Axial plane
FLAIR MRI.
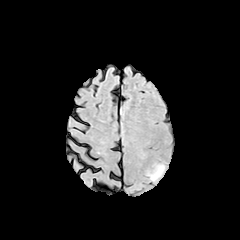
T1-weighted magnetic resonance.
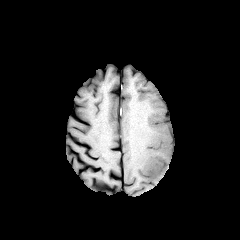
Post-contrast T1-weighted MRI.
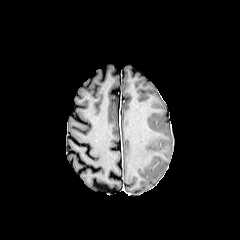
T2-weighted magnetic resonance.
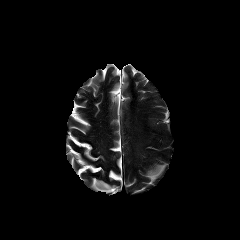
peritumoral edema: <box>148,165,164,180</box>